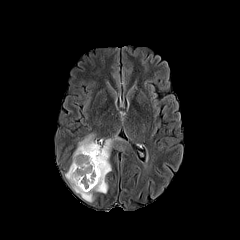
FLAIR MRI.
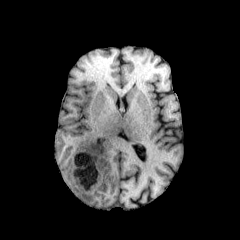
T1-weighted MR.
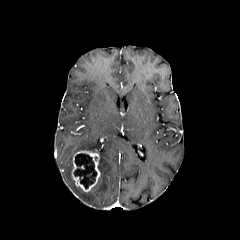
Post-contrast T1-weighted MRI.
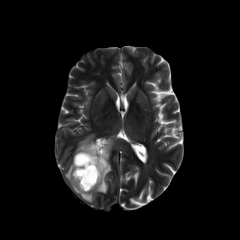
T2-weighted MR of the same slice.
Axial slice
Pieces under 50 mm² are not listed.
enhancing tumor at bbox(71, 149, 100, 192)
necrotic tumor core at bbox(74, 153, 96, 189)
peritumoral edema at bbox(65, 134, 119, 202)